FLAIR MR.
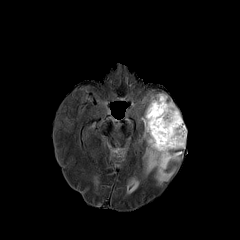
T1-weighted MR.
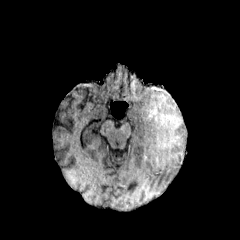
Post-contrast T1-weighted MR image.
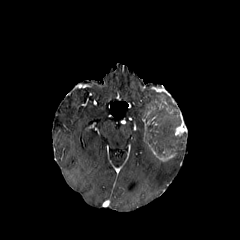
T2-weighted MR.
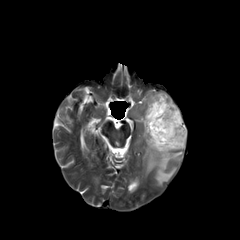
Axial view. 240x240. Head.
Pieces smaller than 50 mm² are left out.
{
  "enhancing_tumor": [
    "bbox(175, 113, 187, 136)",
    "bbox(147, 142, 176, 161)",
    "bbox(142, 116, 156, 136)"
  ],
  "necrotic_tumor_core": [
    "bbox(145, 101, 185, 156)"
  ],
  "peritumoral_edema": [
    "bbox(150, 93, 167, 103)",
    "bbox(144, 147, 182, 184)"
  ]
}